FLAIR MRI.
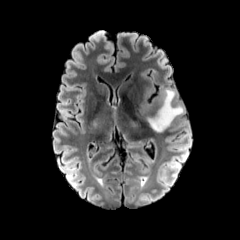
T1-weighted magnetic resonance.
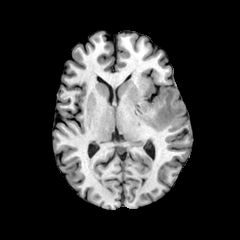
Post-contrast T1-weighted MRI.
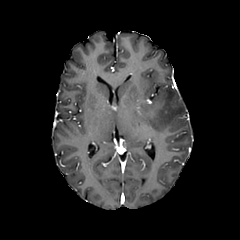
T2-weighted MR.
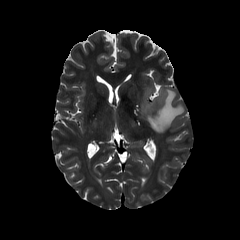
Axial view.
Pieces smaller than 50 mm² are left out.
• peritumoral edema: region(147, 88, 183, 132)